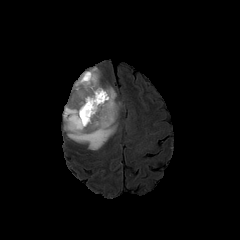
FLAIR MR image.
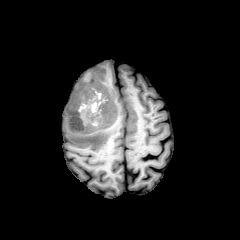
Same slice, T1-weighted MR image.
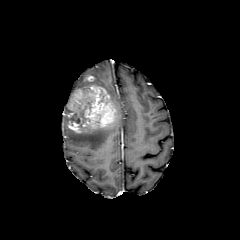
Same slice, post-contrast T1-weighted MRI.
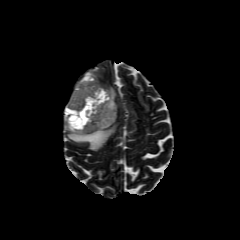
T2-weighted MRI.
Brain, Image size 240x240
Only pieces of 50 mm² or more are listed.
The largest necrotic tumor core region appears at (x1=66, y1=105, x2=87, y2=127). The 3 largest peritumoral edema regions are bounded by (x1=73, y1=67, x2=100, y2=92), (x1=105, y1=87, x2=119, y2=117), (x1=63, y1=115, x2=117, y2=150). The 2 largest enhancing tumor regions are located at (x1=63, y1=85, x2=116, y2=133), (x1=83, y1=75, x2=94, y2=81).